Slice index 72, Axial slice, Head, Image width 240 mm, 1.00 mm slice spacing
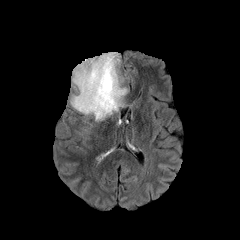
FLAIR MRI.
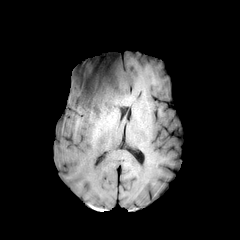
T1-weighted MRI of the same slice.
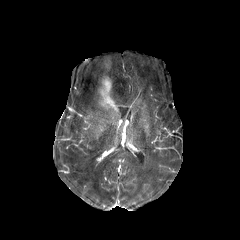
Same slice, post-contrast T1-weighted magnetic resonance.
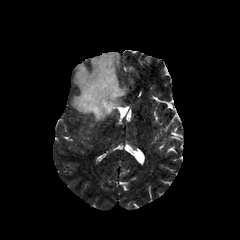
T2-weighted magnetic resonance.
The enhancing tumor appears at (101,78,115,108). The peritumoral edema is bounded by (70,52,127,121).